240x240, Head, Axial plane, Image width 240 mm, 1.00 mm slice spacing
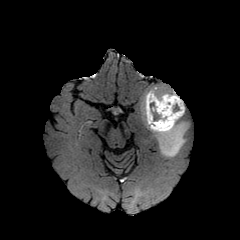
FLAIR MRI.
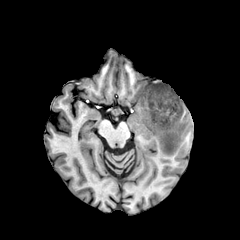
T1-weighted MR.
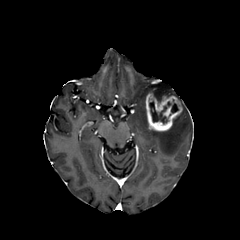
Same slice, post-contrast T1-weighted MR image.
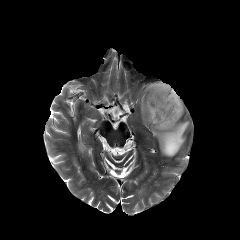
T2-weighted MR image.
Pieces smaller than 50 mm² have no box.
peritumoral edema = [x1=149, y1=84, x2=188, y2=157], [x1=142, y1=102, x2=148, y2=126]
necrotic tumor core = [x1=149, y1=101, x2=171, y2=123], [x1=171, y1=103, x2=178, y2=113]
enhancing tumor = [x1=145, y1=92, x2=182, y2=131]